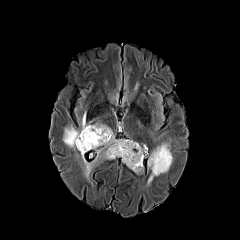
FLAIR MRI.
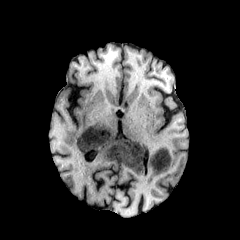
Same slice, T1-weighted magnetic resonance.
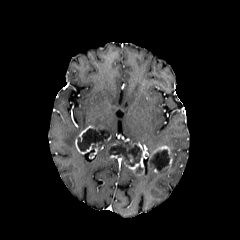
Post-contrast T1-weighted MR.
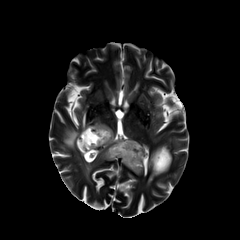
T2-weighted MRI of the same slice.
Axial slice
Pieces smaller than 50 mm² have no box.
necrotic_tumor_core:
  - [77, 128, 110, 151]
  - [150, 149, 169, 171]
  - [108, 140, 141, 166]
peritumoral_edema:
  - [63, 126, 79, 149]
  - [94, 122, 120, 147]
  - [81, 112, 88, 130]
  - [132, 167, 142, 174]
  - [147, 161, 168, 185]
  - [81, 147, 114, 176]
enhancing_tumor:
  - [78, 125, 103, 141]
  - [149, 146, 172, 169]
  - [75, 137, 93, 154]
  - [124, 143, 148, 170]